FLAIR MR.
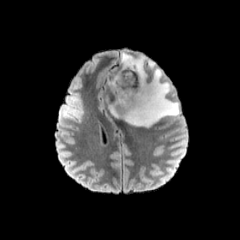
T1-weighted MR.
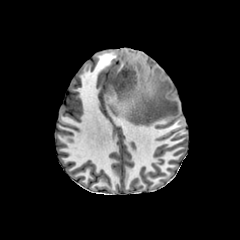
Post-contrast T1-weighted MRI.
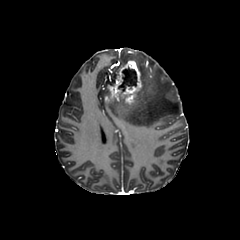
T2-weighted MR.
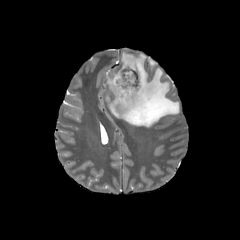
Axial slice; Brain; 240x240 px
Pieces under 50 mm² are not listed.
The necrotic tumor core is bounded by region(118, 68, 136, 91). The largest peritumoral edema region is located at region(109, 52, 179, 127). The enhancing tumor is at region(105, 60, 142, 104).